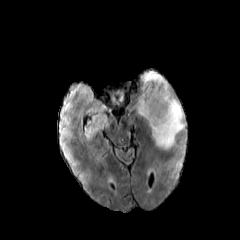
FLAIR magnetic resonance.
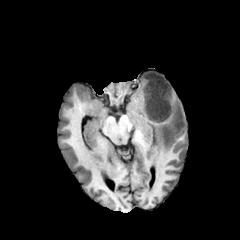
T1-weighted MRI.
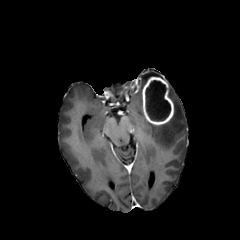
Post-contrast T1-weighted MRI of the same slice.
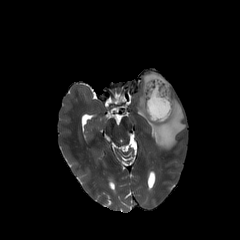
T2-weighted MR.
Brain, Axial slice, Image size 240x240
necrotic tumor core: left=145, top=80, right=170, bottom=120
enhancing tumor: left=142, top=76, right=174, bottom=125
peritumoral edema: left=149, top=89, right=185, bottom=149; left=138, top=95, right=144, bottom=117; left=142, top=71, right=162, bottom=86